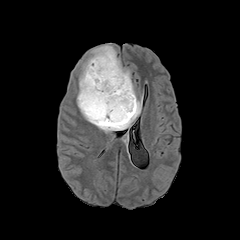
FLAIR MR.
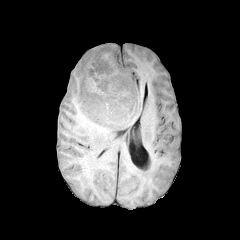
Same slice, T1-weighted MR.
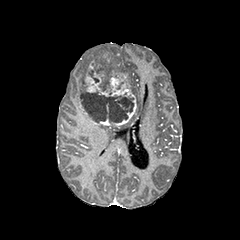
Post-contrast T1-weighted MRI of the same slice.
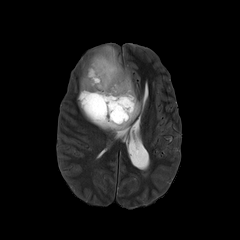
T2-weighted magnetic resonance of the same slice.
Axial view, Head, 240x240 px
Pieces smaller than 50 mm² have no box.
peritumoral edema — box=[77, 44, 141, 132]
enhancing tumor — box=[81, 61, 136, 127]
necrotic tumor core — box=[119, 97, 130, 107]; box=[80, 91, 128, 122]